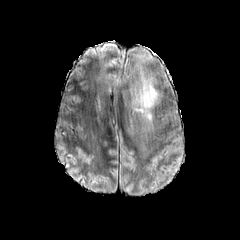
FLAIR MR image.
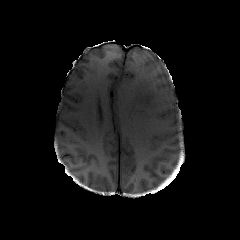
T1-weighted MR image.
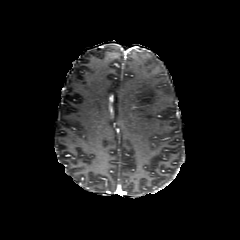
Post-contrast T1-weighted MRI of the same slice.
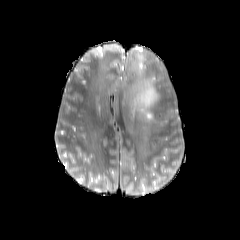
T2-weighted MRI.
240x240, Axial plane, Head
<segmentation>
  <peritumoral_edema>[x1=129, y1=64, x2=161, y2=124]</peritumoral_edema>
</segmentation>